Slice index 112; Axial plane; Brain
FLAIR MRI.
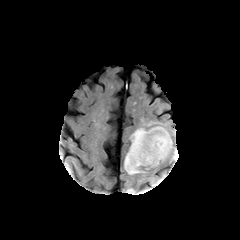
T1-weighted MR.
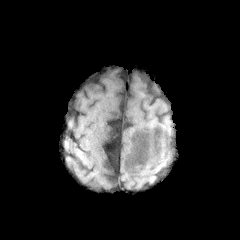
Post-contrast T1-weighted MR.
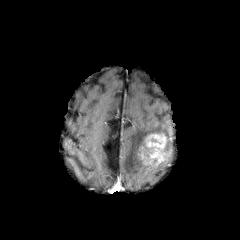
T2-weighted magnetic resonance.
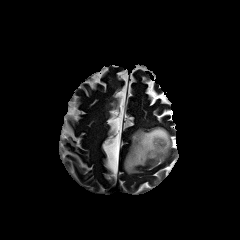
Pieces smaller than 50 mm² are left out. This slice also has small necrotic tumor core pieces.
The peritumoral edema is bounded by (124,126,172,174). The enhancing tumor appears at (138,133,167,165).